Brain
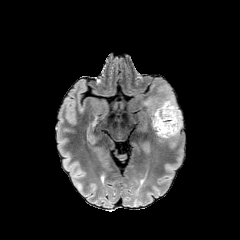
FLAIR MR image.
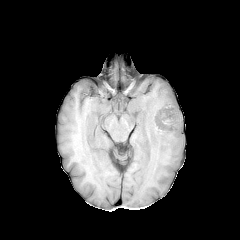
Same slice, T1-weighted MR.
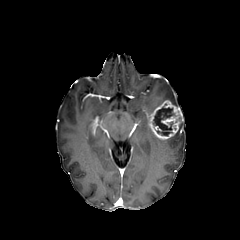
Same slice, post-contrast T1-weighted MR.
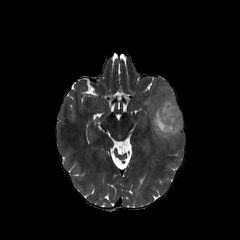
T2-weighted magnetic resonance.
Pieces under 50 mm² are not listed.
Findings:
* necrotic tumor core: 153 107 174 135
* peritumoral edema: 152 121 182 146, 144 87 178 115
* enhancing tumor: 148 100 182 139